Slice 128/155. Image width 240 mm, 1.00 mm slice spacing. Axial slice.
FLAIR magnetic resonance.
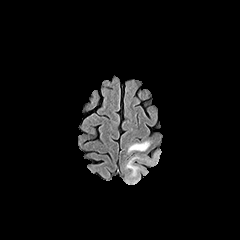
T1-weighted MRI.
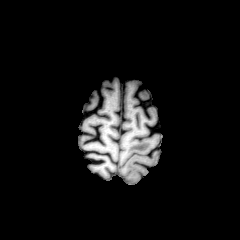
Post-contrast T1-weighted magnetic resonance.
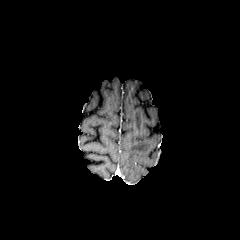
T2-weighted MR.
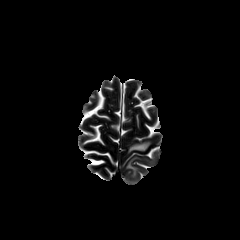
2 peritumoral edema regions are located at <box>126,155,139,176</box>, <box>128,140,151,152</box>.